FLAIR magnetic resonance.
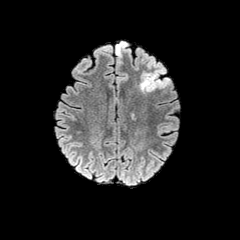
T1-weighted MR image.
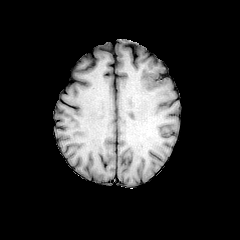
Post-contrast T1-weighted magnetic resonance.
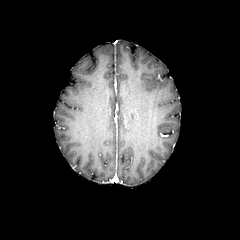
T2-weighted magnetic resonance.
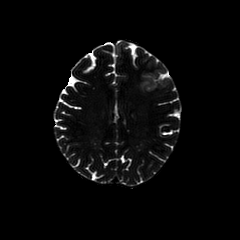
Head, Axial view
peritumoral edema: x1=139, y1=69, x2=170, y2=92; x1=115, y1=41, x2=128, y2=57